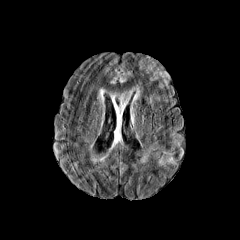
FLAIR MRI.
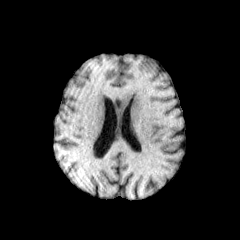
T1-weighted MRI.
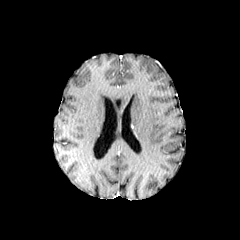
Post-contrast T1-weighted MRI.
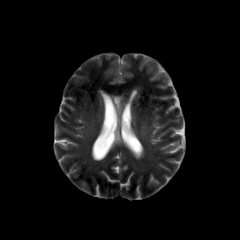
T2-weighted MR.
Brain | Image size 240x240 | Axial view
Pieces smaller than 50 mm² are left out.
Annotated regions:
- peritumoral edema: <box>129,106,136,125</box>, <box>111,86,139,140</box>, <box>98,89,104,100</box>